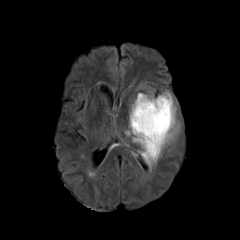
FLAIR MR.
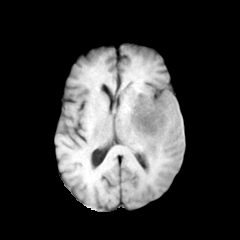
T1-weighted magnetic resonance of the same slice.
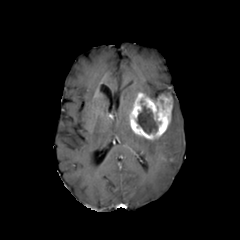
Post-contrast T1-weighted magnetic resonance.
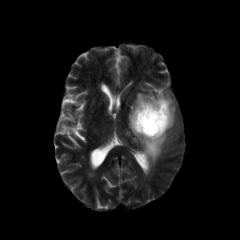
T2-weighted MR of the same slice.
Brain | Axial slice
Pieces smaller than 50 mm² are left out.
Findings:
* enhancing tumor: {"x1": 129, "y1": 92, "x2": 172, "y2": 140}
* necrotic tumor core: {"x1": 137, "y1": 105, "x2": 157, "y2": 133}
* peritumoral edema: {"x1": 125, "y1": 98, "x2": 179, "y2": 169}